FLAIR magnetic resonance.
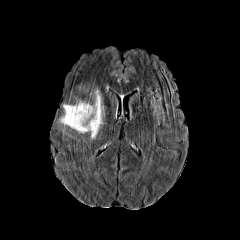
T1-weighted magnetic resonance.
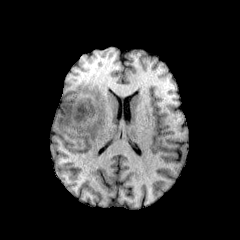
Post-contrast T1-weighted MR.
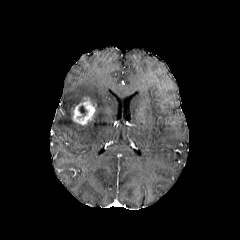
T2-weighted MR image.
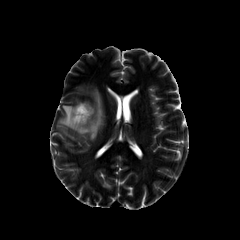
240x240, Brain
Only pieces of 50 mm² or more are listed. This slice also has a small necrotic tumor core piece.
{"enhancing_tumor": ["[x1=72, y1=98, x2=95, y2=125]"], "peritumoral_edema": ["[x1=59, y1=89, x2=103, y2=139]"]}